Slice 124/155; Head; Axial slice
FLAIR MRI.
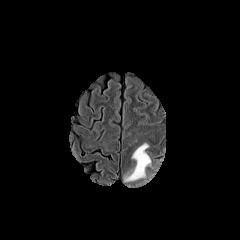
T1-weighted MRI.
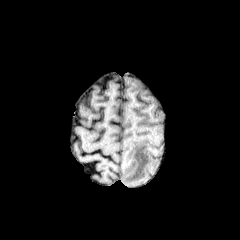
Post-contrast T1-weighted MR image.
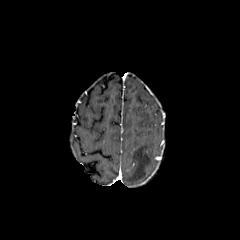
T2-weighted MR.
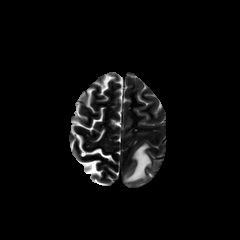
peritumoral edema — [124,143,151,182]